Brain | Axial view | Image width 240 mm, 1.00 mm slice spacing
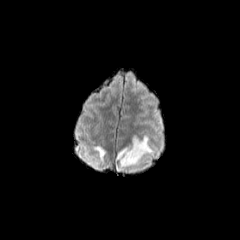
FLAIR MRI.
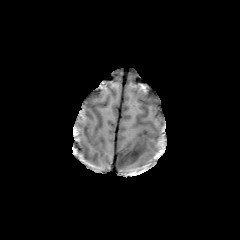
T1-weighted MRI.
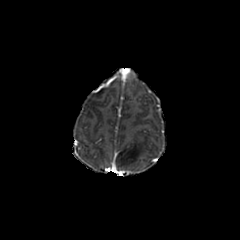
Post-contrast T1-weighted magnetic resonance.
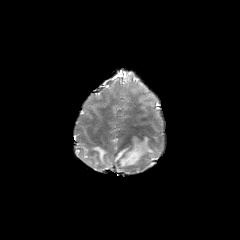
T2-weighted magnetic resonance of the same slice.
3 peritumoral edema regions appear at box=[115, 135, 153, 174]; box=[84, 153, 96, 165]; box=[92, 145, 106, 162].